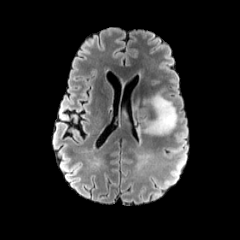
FLAIR magnetic resonance.
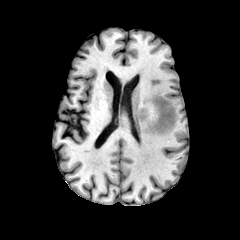
T1-weighted MRI.
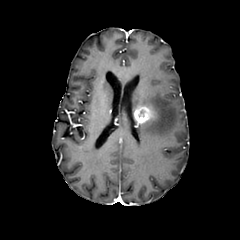
Same slice, post-contrast T1-weighted magnetic resonance.
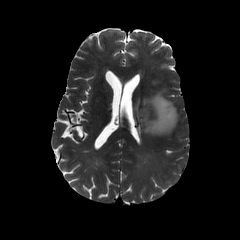
T2-weighted MRI.
Head
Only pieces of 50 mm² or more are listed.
The largest peritumoral edema region lies within 137 88 177 135. The enhancing tumor is located at 133 106 153 124.